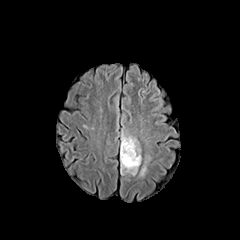
FLAIR magnetic resonance.
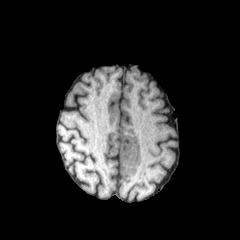
T1-weighted MR.
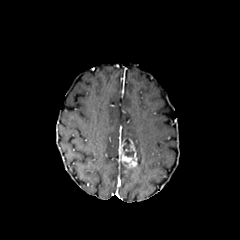
Post-contrast T1-weighted MR of the same slice.
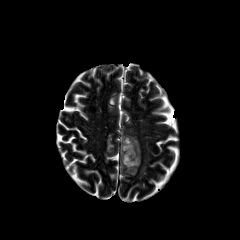
Same slice, T2-weighted magnetic resonance.
Image size 240x240. Brain.
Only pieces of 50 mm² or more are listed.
The 4 largest peritumoral edema regions appear at 139:166:146:176, 120:155:137:175, 145:154:150:164, 121:127:140:161. The largest enhancing tumor region is at 120:138:137:172. The necrotic tumor core is at 123:138:134:156.